FLAIR MR image.
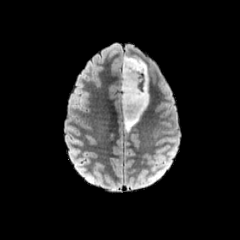
T1-weighted magnetic resonance.
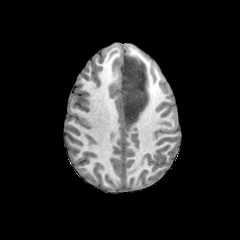
Post-contrast T1-weighted MR.
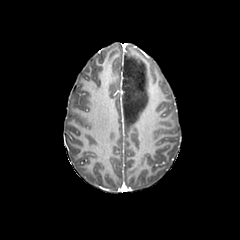
T2-weighted magnetic resonance.
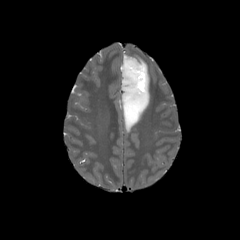
Segmented structures:
• peritumoral edema: <bbox>121, 55, 149, 130</bbox>